Head; Slice index 97
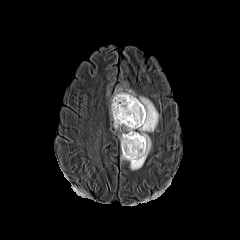
FLAIR MR image.
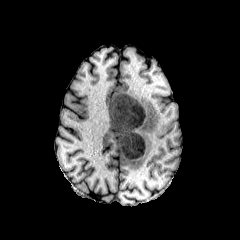
Same slice, T1-weighted MR.
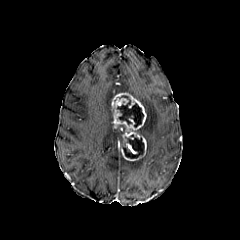
Post-contrast T1-weighted MR image.
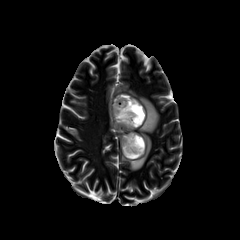
T2-weighted MR of the same slice.
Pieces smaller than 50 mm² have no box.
Segmented structures:
• peritumoral edema: rect(127, 96, 159, 170); rect(110, 109, 125, 142); rect(115, 88, 135, 97)
• enhancing tumor: rect(111, 93, 146, 161)
• necrotic tumor core: rect(117, 95, 143, 127); rect(123, 137, 144, 158)